FLAIR MRI.
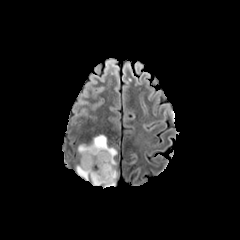
T1-weighted MR.
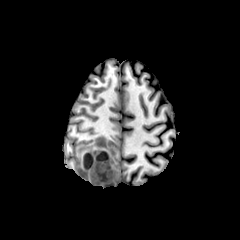
Post-contrast T1-weighted MRI.
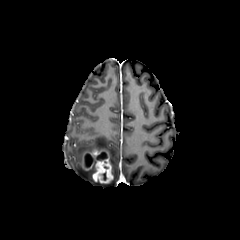
T2-weighted MR.
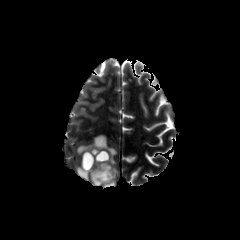
Brain. Axial slice.
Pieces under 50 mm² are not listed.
enhancing tumor at box(82, 149, 106, 170); box(92, 154, 113, 183)
necrotic tumor core at box(84, 151, 107, 173)
peritumoral edema at box(76, 135, 117, 185)